Axial slice. Brain. Slice index 109. Image covers 240 mm x 240 mm.
FLAIR magnetic resonance.
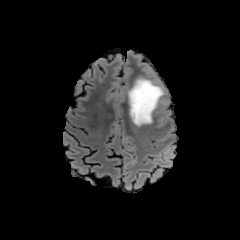
T1-weighted MR.
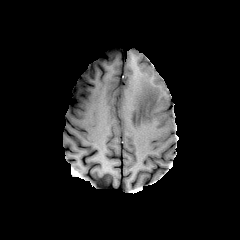
Post-contrast T1-weighted MR image.
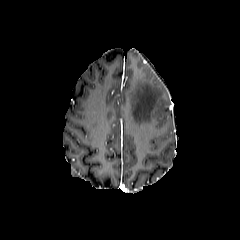
T2-weighted MR.
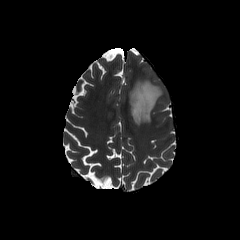
The peritumoral edema is located at l=128, t=77, r=163, b=125.